Axial view
FLAIR MR image.
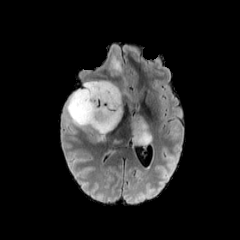
T1-weighted MR image.
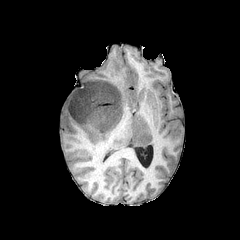
Post-contrast T1-weighted MR image.
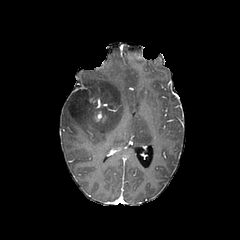
T2-weighted MRI.
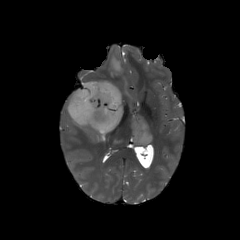
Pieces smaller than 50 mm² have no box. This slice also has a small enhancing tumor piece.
peritumoral edema — 107, 51, 135, 101; 67, 81, 125, 146; 130, 115, 154, 148; 111, 139, 122, 146